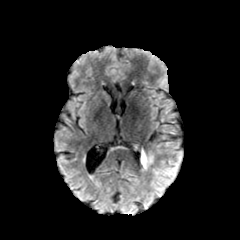
FLAIR MRI.
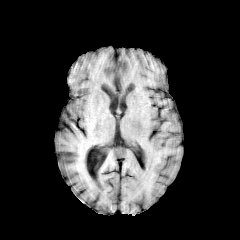
T1-weighted magnetic resonance of the same slice.
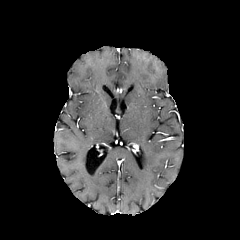
Post-contrast T1-weighted MR of the same slice.
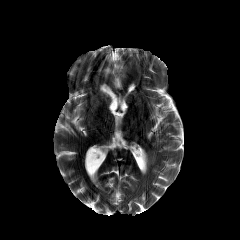
T2-weighted MR image.
<segmentation>
  <peritumoral_edema>[x1=141, y1=151, x2=153, y2=168]</peritumoral_edema>
</segmentation>